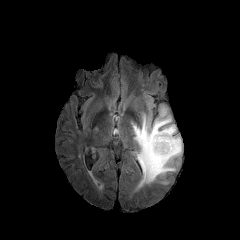
FLAIR magnetic resonance.
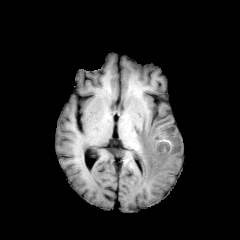
T1-weighted MR of the same slice.
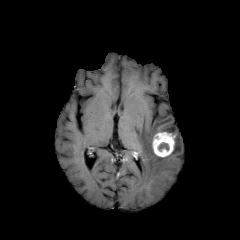
Post-contrast T1-weighted MR image of the same slice.
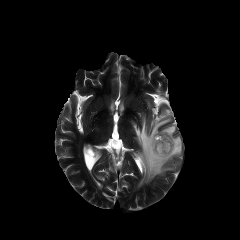
T2-weighted magnetic resonance.
Axial slice
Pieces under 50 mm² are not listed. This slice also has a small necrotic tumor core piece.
Segmented structures:
* peritumoral edema: (x1=132, y1=107, x2=182, y2=186)
* enhancing tumor: (x1=152, y1=132, x2=175, y2=157)